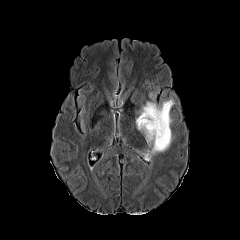
FLAIR magnetic resonance.
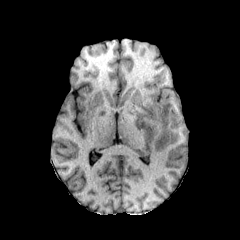
Same slice, T1-weighted MR.
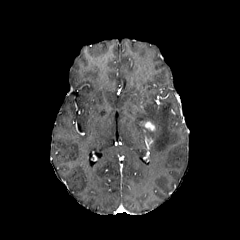
Post-contrast T1-weighted MRI.
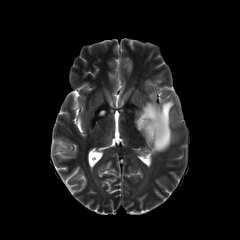
T2-weighted MR.
Head; Axial view
peritumoral edema: bounding box (left=136, top=90, right=184, bottom=154)
enhancing tumor: bounding box (left=141, top=121, right=155, bottom=131)